FLAIR magnetic resonance.
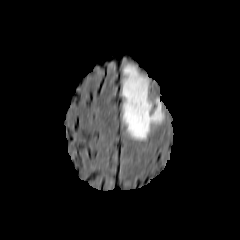
T1-weighted MRI.
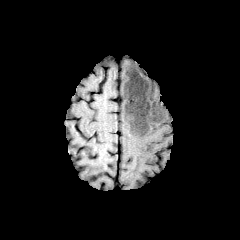
Post-contrast T1-weighted MRI.
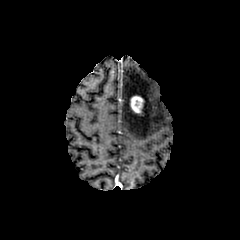
T2-weighted MRI.
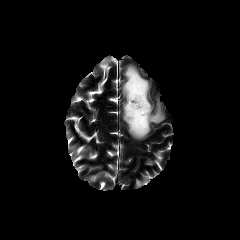
240x240 px; Head
Annotated regions:
• peritumoral edema: rect(122, 64, 164, 140)
• enhancing tumor: rect(129, 95, 144, 114)